Axial plane; Image covers 240 mm x 240 mm; Head
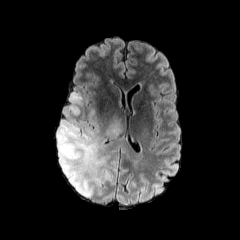
FLAIR MR image.
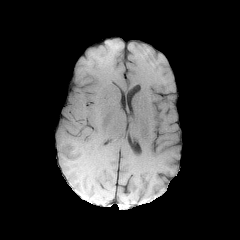
T1-weighted MRI.
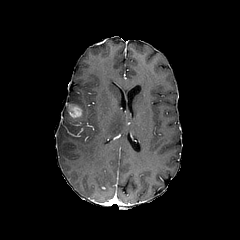
Same slice, post-contrast T1-weighted MR image.
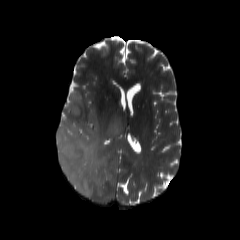
T2-weighted MRI of the same slice.
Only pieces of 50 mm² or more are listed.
The enhancing tumor is at <bbox>67, 104, 82, 118</bbox>. The 2 largest peritumoral edema regions are located at <bbox>57, 93, 114, 197</bbox>, <bbox>105, 116, 122, 138</bbox>.